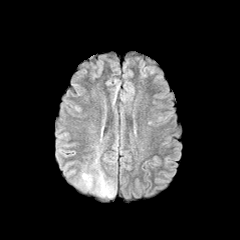
FLAIR MR image.
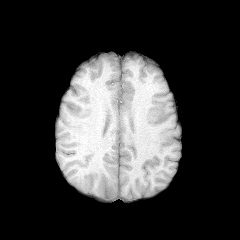
T1-weighted MR image of the same slice.
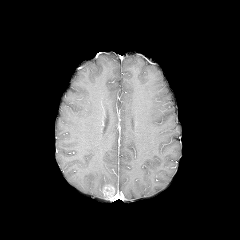
Same slice, post-contrast T1-weighted magnetic resonance.
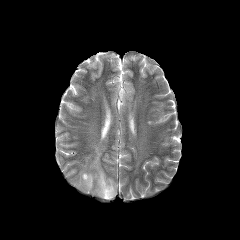
T2-weighted MR.
Image size 240x240 | Head
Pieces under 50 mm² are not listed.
enhancing tumor: bounding box bbox=[103, 185, 114, 199]
peritumoral edema: bounding box bbox=[75, 153, 116, 198]